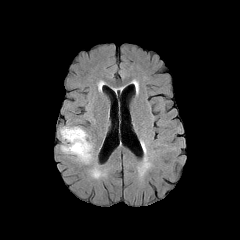
FLAIR magnetic resonance.
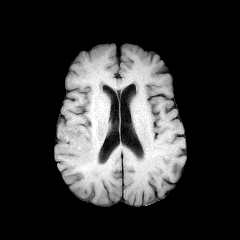
T1-weighted MR image.
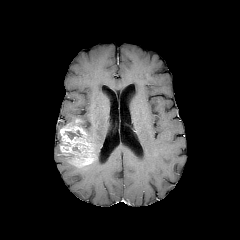
Post-contrast T1-weighted magnetic resonance.
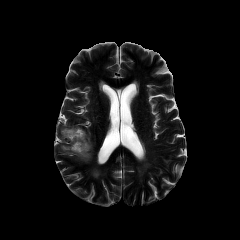
T2-weighted MR image.
Axial view
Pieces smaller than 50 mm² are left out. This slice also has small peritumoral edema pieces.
necrotic tumor core: 65 130 81 139 | enhancing tumor: 60 119 95 166